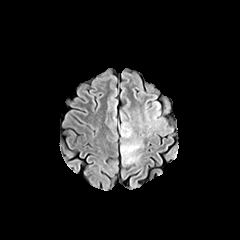
FLAIR MRI.
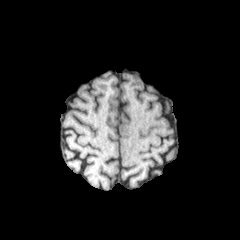
T1-weighted MR image of the same slice.
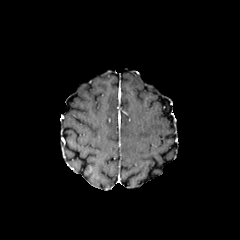
Post-contrast T1-weighted magnetic resonance of the same slice.
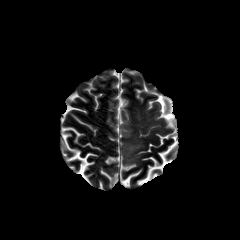
T2-weighted MR image of the same slice.
Head | Axial view
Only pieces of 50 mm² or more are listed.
<segmentation>
  <peritumoral_edema><bbox>121, 123, 132, 137</bbox>, <bbox>121, 140, 141, 163</bbox></peritumoral_edema>
</segmentation>